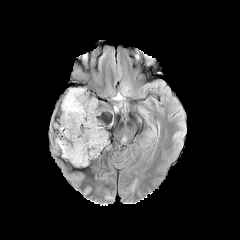
FLAIR MR image.
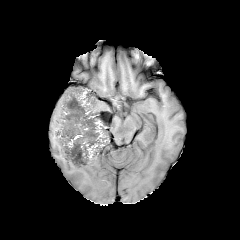
T1-weighted MR image of the same slice.
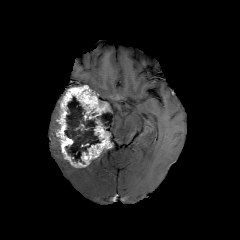
Post-contrast T1-weighted MR.
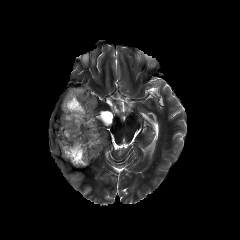
T2-weighted MRI.
Image size 240x240
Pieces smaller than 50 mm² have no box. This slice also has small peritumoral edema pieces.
necrotic tumor core — (x1=97, y1=112, x2=112, y2=127), (x1=64, y1=96, x2=100, y2=163)
enhancing tumor — (x1=56, y1=85, x2=112, y2=167)